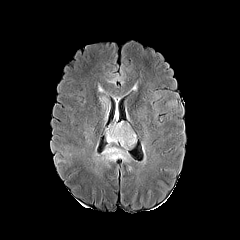
FLAIR MR.
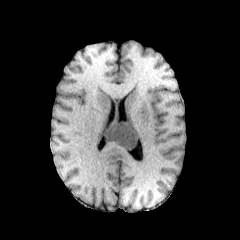
T1-weighted MRI.
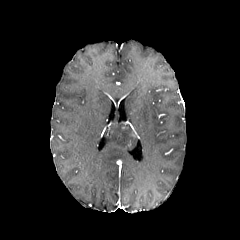
Post-contrast T1-weighted MRI.
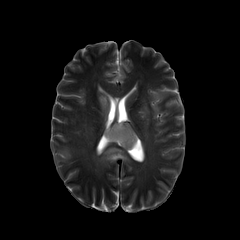
T2-weighted MR image of the same slice.
Axial slice
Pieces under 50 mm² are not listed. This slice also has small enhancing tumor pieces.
peritumoral edema: <bbox>101, 122, 136, 162</bbox>, <bbox>100, 96, 109, 118</bbox>